Axial slice, Slice index 104, Brain
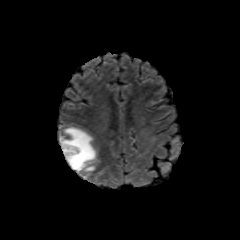
FLAIR MR.
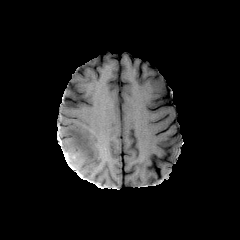
T1-weighted MRI.
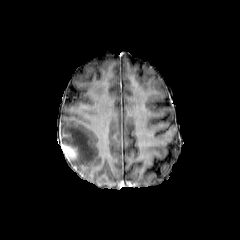
Same slice, post-contrast T1-weighted magnetic resonance.
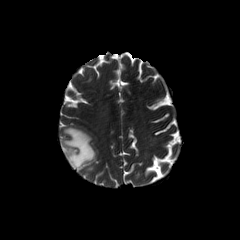
T2-weighted MRI.
The peritumoral edema lies within (61, 126, 97, 178). The enhancing tumor is bounded by (62, 143, 77, 162).